FLAIR MR.
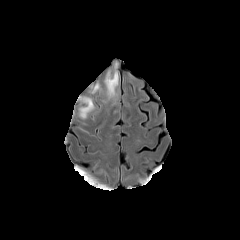
T1-weighted MR.
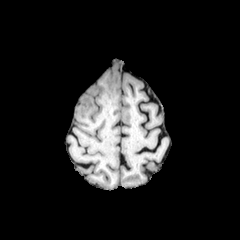
Post-contrast T1-weighted MR image.
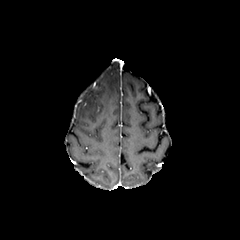
T2-weighted MR.
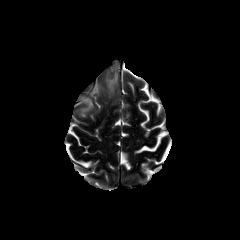
Head
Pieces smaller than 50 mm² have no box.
• peritumoral edema: <box>104,63,119,99</box>, <box>79,97,94,118</box>